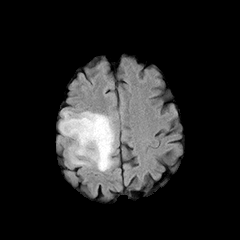
FLAIR magnetic resonance.
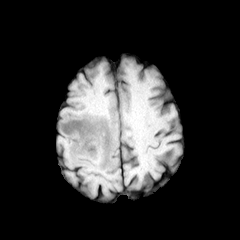
T1-weighted magnetic resonance.
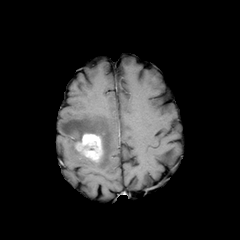
Post-contrast T1-weighted magnetic resonance of the same slice.
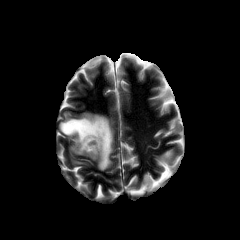
T2-weighted MRI.
Brain | 240x240
The enhancing tumor lies within box=[75, 133, 103, 161]. The peritumoral edema is at box=[59, 111, 114, 171].